Head. Axial view. Slice 52/155.
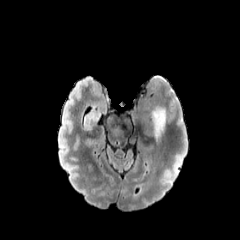
FLAIR magnetic resonance.
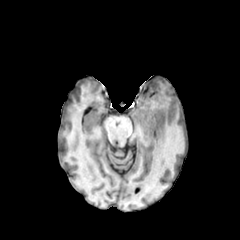
T1-weighted MR image of the same slice.
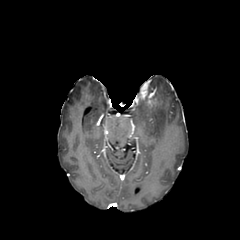
Same slice, post-contrast T1-weighted MRI.
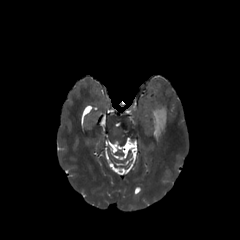
T2-weighted MR.
Segmented structures:
- peritumoral edema: bbox=[151, 106, 166, 140]